FLAIR MR image.
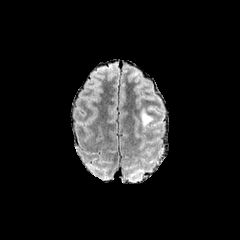
T1-weighted MR image.
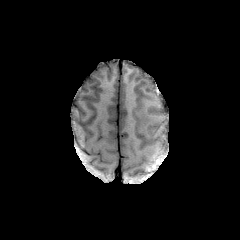
Post-contrast T1-weighted MR.
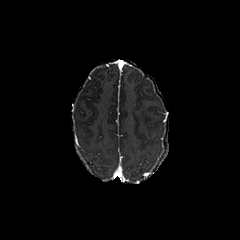
T2-weighted MR image.
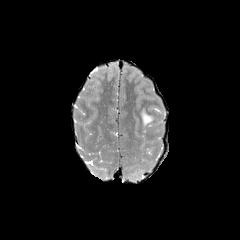
Axial plane | Brain
peritumoral edema: bounding box x1=140, y1=108, x2=153, y2=128